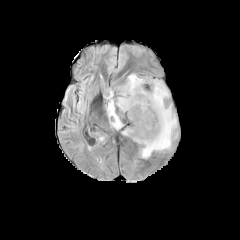
FLAIR magnetic resonance.
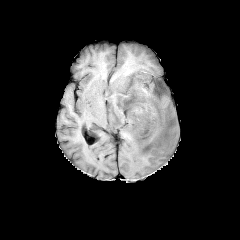
Same slice, T1-weighted MRI.
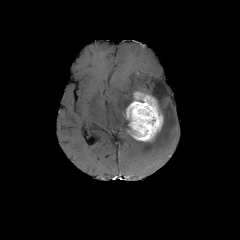
Post-contrast T1-weighted magnetic resonance.
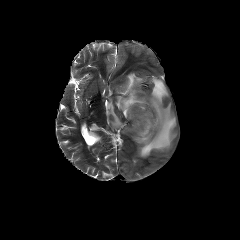
T2-weighted MRI of the same slice.
240x240 px. Axial view.
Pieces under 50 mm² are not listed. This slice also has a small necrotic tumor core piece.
enhancing tumor at <bbox>125, 91, 163, 141</bbox>
peritumoral edema at <bbox>106, 73, 177, 158</bbox>